FLAIR MRI.
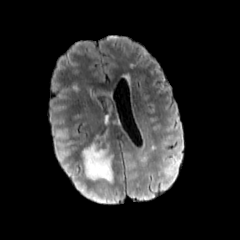
T1-weighted magnetic resonance.
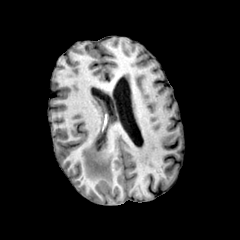
Post-contrast T1-weighted MR.
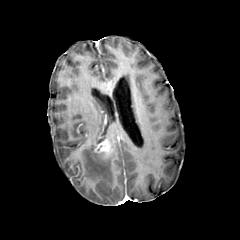
T2-weighted MR.
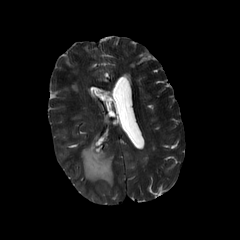
Brain
* peritumoral edema: region(82, 143, 113, 183)
* enhancing tumor: region(94, 139, 109, 153)